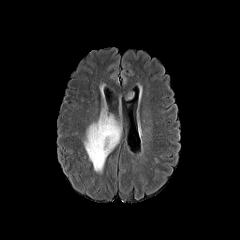
FLAIR MR.
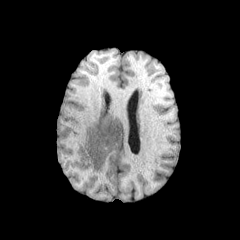
T1-weighted MR.
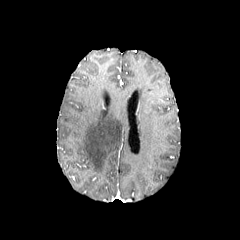
Same slice, post-contrast T1-weighted MR image.
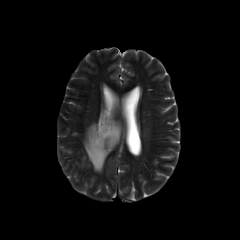
T2-weighted MR of the same slice.
Brain, Axial view
peritumoral_edema:
  - <box>83,109,121,172</box>